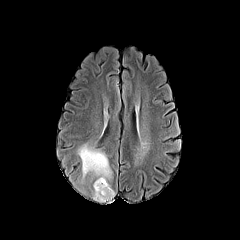
FLAIR MRI.
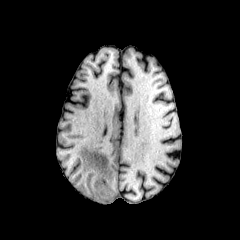
T1-weighted magnetic resonance.
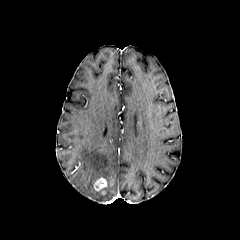
Post-contrast T1-weighted magnetic resonance.
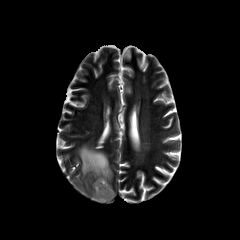
T2-weighted MR of the same slice.
Image size 240x240; Axial plane; Head
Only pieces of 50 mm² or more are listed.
enhancing tumor: bbox(94, 177, 107, 191) | peritumoral edema: bbox(78, 144, 115, 201)